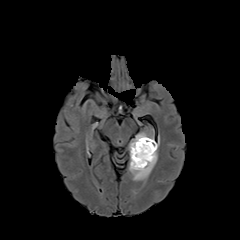
FLAIR MR image.
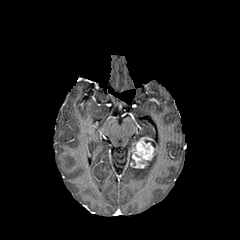
T1-weighted magnetic resonance.
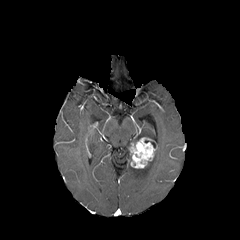
Same slice, post-contrast T1-weighted MR image.
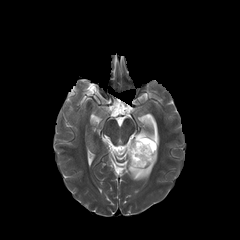
T2-weighted magnetic resonance.
Axial plane
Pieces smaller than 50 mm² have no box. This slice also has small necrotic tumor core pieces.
peritumoral edema: <bbox>133, 130, 146, 141</bbox>, <bbox>128, 139, 159, 180</bbox> | enhancing tumor: <bbox>129, 137, 156, 168</bbox>